Slice 90 of 155; Image covers 240 mm x 240 mm; 240x240 px; Axial slice; Head
FLAIR MR image.
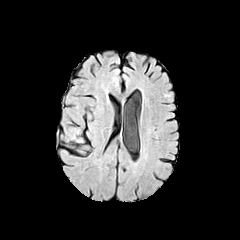
T1-weighted magnetic resonance.
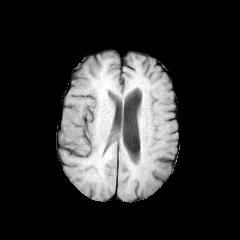
Post-contrast T1-weighted MR image.
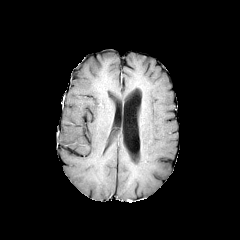
T2-weighted magnetic resonance.
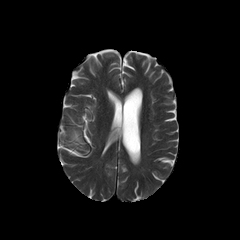
Findings:
- peritumoral edema: x1=71, y1=131, x2=81, y2=142